Slice 88/155; Axial view; 240x240 px; Brain
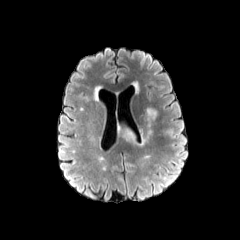
FLAIR magnetic resonance.
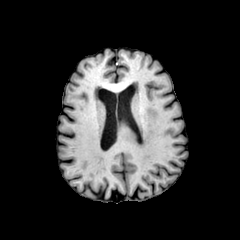
T1-weighted magnetic resonance.
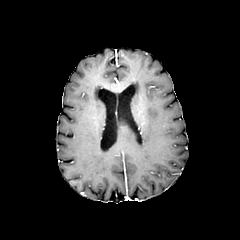
Post-contrast T1-weighted MR of the same slice.
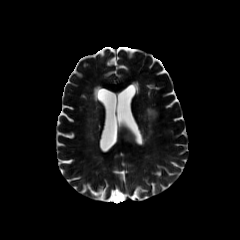
Same slice, T2-weighted MR image.
peritumoral edema: bounding box 121 123 151 145, 147 107 157 127